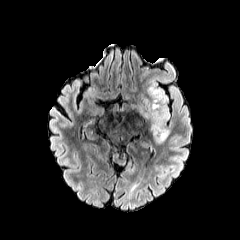
FLAIR MRI.
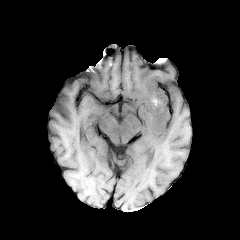
T1-weighted MRI of the same slice.
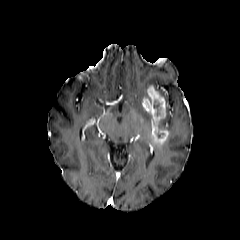
Same slice, post-contrast T1-weighted MR image.
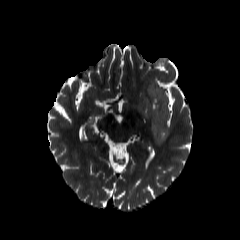
T2-weighted MR image.
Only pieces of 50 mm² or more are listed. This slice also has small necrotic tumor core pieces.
* peritumoral edema: (150, 82, 167, 100)
* enhancing tumor: (142, 85, 168, 144)